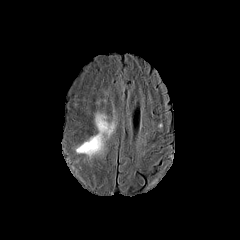
FLAIR MR image.
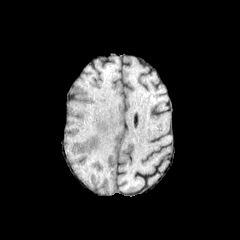
T1-weighted MR image of the same slice.
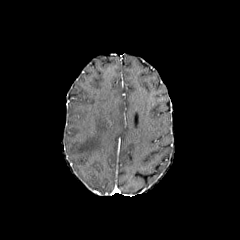
Post-contrast T1-weighted MRI.
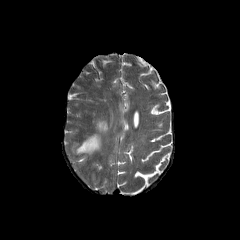
T2-weighted MR.
Axial slice | Head | Image size 240x240
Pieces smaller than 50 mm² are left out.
The largest peritumoral edema region is bounded by bbox(76, 117, 109, 156).